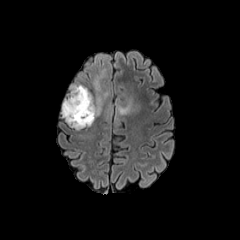
FLAIR MR.
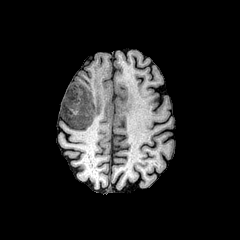
Same slice, T1-weighted MR.
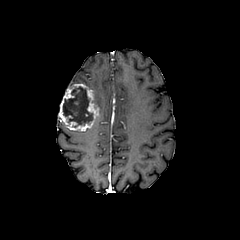
Post-contrast T1-weighted MR.
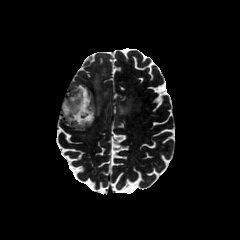
T2-weighted MRI.
Brain
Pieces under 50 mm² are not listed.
necrotic tumor core: <bbox>63, 87, 92, 125</bbox> | enhancing tumor: <bbox>59, 84, 99, 130</bbox> | peritumoral edema: <bbox>93, 57, 108, 113</bbox>, <bbox>106, 97, 113, 118</bbox>, <bbox>116, 98, 139, 115</bbox>